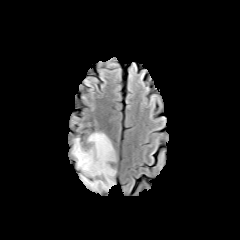
FLAIR MR.
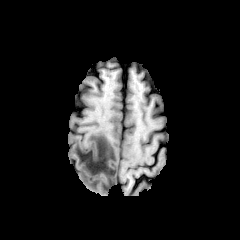
T1-weighted MR.
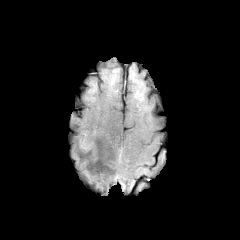
Post-contrast T1-weighted MR image of the same slice.
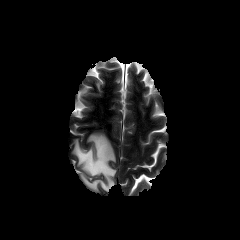
T2-weighted MR of the same slice.
Head
Findings:
• peritumoral edema: {"x1": 73, "y1": 133, "x2": 115, "y2": 189}